FLAIR MR.
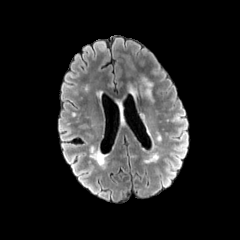
T1-weighted MRI.
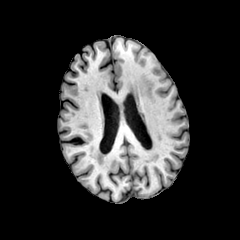
Post-contrast T1-weighted MR.
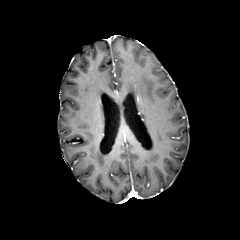
T2-weighted magnetic resonance.
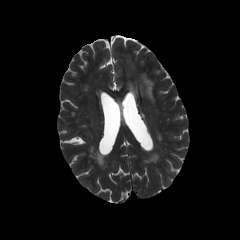
Head
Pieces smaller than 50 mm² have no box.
peritumoral edema: box(142, 77, 153, 101)